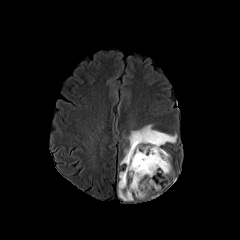
FLAIR MR.
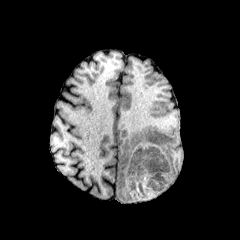
T1-weighted magnetic resonance.
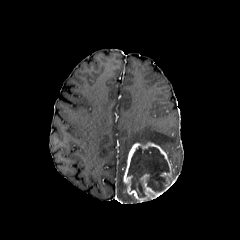
Post-contrast T1-weighted MRI of the same slice.
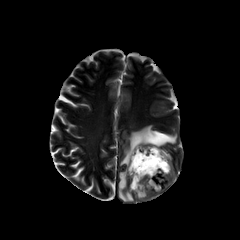
Same slice, T2-weighted MRI.
Axial slice, Image size 240x240, Brain
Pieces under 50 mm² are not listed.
The enhancing tumor is bounded by (left=123, top=142, right=173, bottom=201). The 2 largest peritumoral edema regions are bounded by (left=120, top=124, right=177, bottom=165), (left=118, top=171, right=133, bottom=201). The necrotic tumor core appears at (left=127, top=147, right=169, bottom=197).